FLAIR MRI.
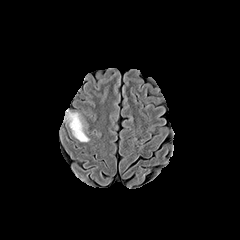
T1-weighted magnetic resonance.
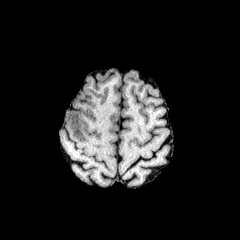
Post-contrast T1-weighted MRI.
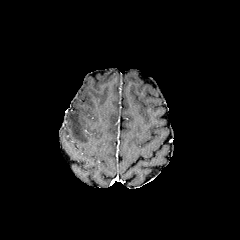
T2-weighted magnetic resonance.
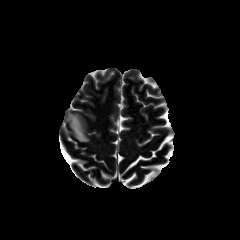
240x240 px, Brain
peritumoral edema at 67 112 89 142